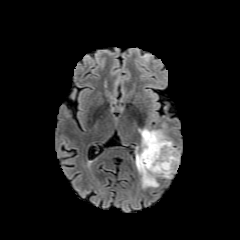
FLAIR MR.
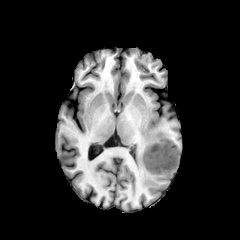
Same slice, T1-weighted MRI.
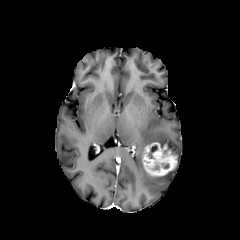
Post-contrast T1-weighted MR image.
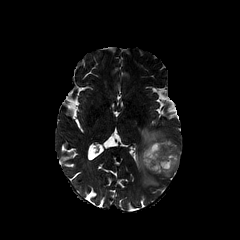
T2-weighted MR image.
Brain, Axial plane
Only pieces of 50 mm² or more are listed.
Segmented structures:
* enhancing tumor: (142,142,177,176)
* peritumoral edema: (135,128,179,187)
* necrotic tumor core: (148,145,157,158)